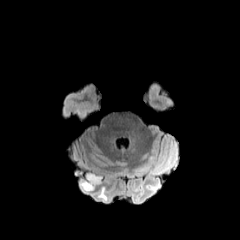
FLAIR MR image.
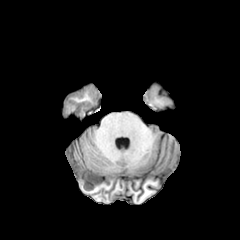
Same slice, T1-weighted MRI.
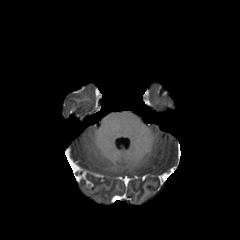
Post-contrast T1-weighted MRI.
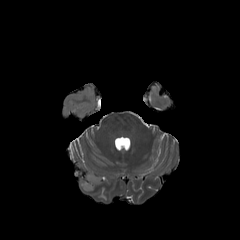
T2-weighted MR.
Brain; 240x240 px
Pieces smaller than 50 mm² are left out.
peritumoral_edema:
  - x1=98, y1=187, x2=107, y2=201
  - x1=80, y1=177, x2=101, y2=191
enhancing_tumor:
  - x1=85, y1=171, x2=102, y2=188